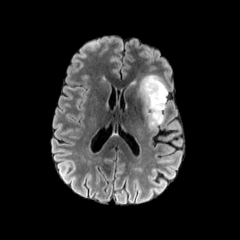
FLAIR MR.
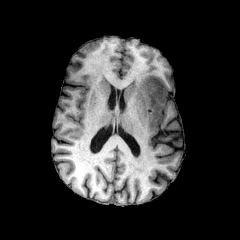
T1-weighted MRI.
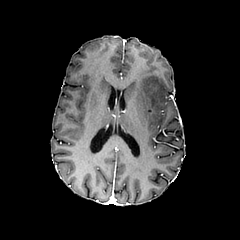
Post-contrast T1-weighted MRI.
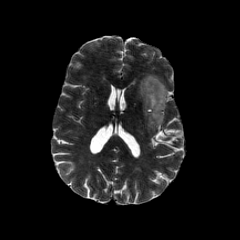
T2-weighted MR.
Image size 240x240, Brain
<segmentation>
  <peritumoral_edema>box=[139, 75, 167, 130]</peritumoral_edema>
</segmentation>